Image size 240x240; Brain
FLAIR MR image.
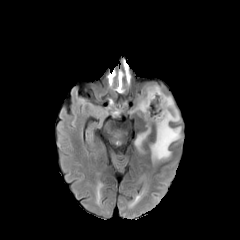
T1-weighted MR image.
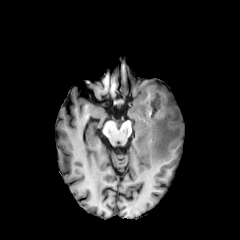
Post-contrast T1-weighted MR.
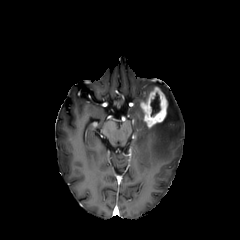
T2-weighted MR.
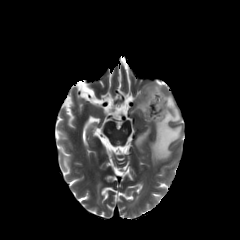
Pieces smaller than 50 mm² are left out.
<segmentation>
  <enhancing_tumor>[140, 87, 167, 128]</enhancing_tumor>
  <necrotic_tumor_core>[151, 93, 160, 116]</necrotic_tumor_core>
  <peritumoral_edema>[151, 94, 180, 163], [141, 85, 158, 101], [135, 128, 150, 149]</peritumoral_edema>
</segmentation>